Image width 240 mm; Brain; Image size 240x240
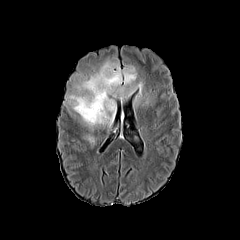
FLAIR MR image.
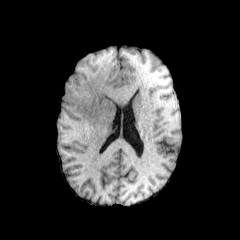
T1-weighted magnetic resonance of the same slice.
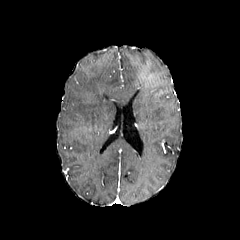
Post-contrast T1-weighted MR image.
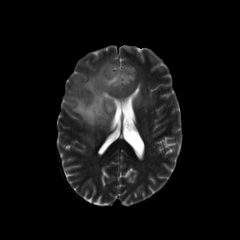
Same slice, T2-weighted MRI.
Segmented structures:
• peritumoral edema: [x1=68, y1=61, x2=136, y2=126], [x1=135, y1=82, x2=153, y2=103]